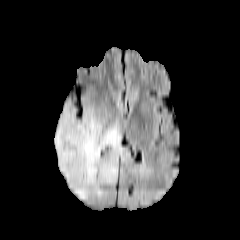
FLAIR magnetic resonance.
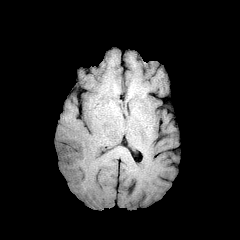
T1-weighted magnetic resonance of the same slice.
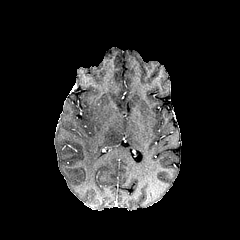
Post-contrast T1-weighted MRI.
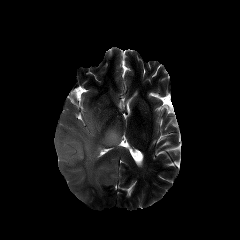
T2-weighted magnetic resonance.
Axial slice
Segmented structures:
• peritumoral edema: bbox=[54, 105, 127, 200]